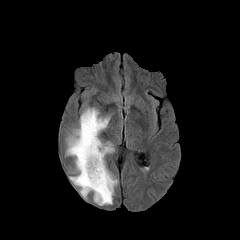
FLAIR MR.
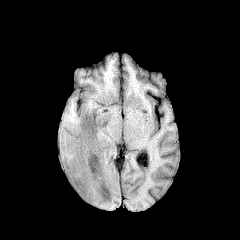
T1-weighted MRI.
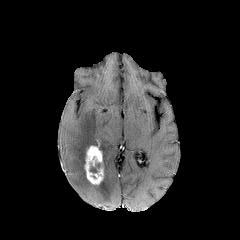
Post-contrast T1-weighted MR of the same slice.
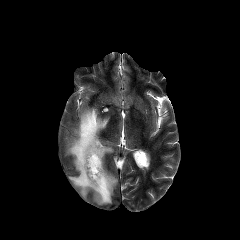
T2-weighted MR of the same slice.
Head, Image size 240x240, Axial plane
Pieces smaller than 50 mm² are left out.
<segmentation>
  <peritumoral_edema><box>66,107,117,205</box></peritumoral_edema>
  <necrotic_tumor_core><box>90,163,100,172</box></necrotic_tumor_core>
  <enhancing_tumor><box>84,145,103,185</box></enhancing_tumor>
</segmentation>